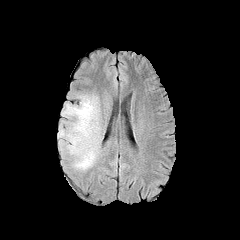
FLAIR MR.
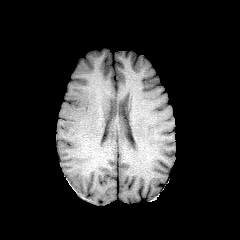
T1-weighted MRI of the same slice.
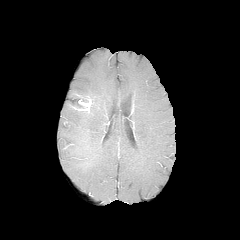
Post-contrast T1-weighted MRI.
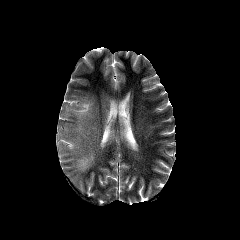
T2-weighted MR.
240x240 | Head
The peritumoral edema is located at l=58, t=94, r=100, b=171.